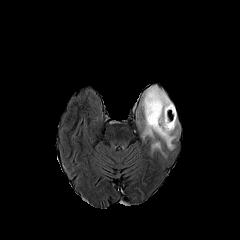
FLAIR magnetic resonance.
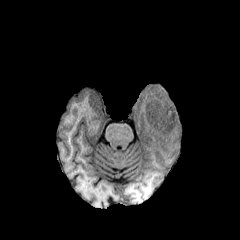
T1-weighted magnetic resonance.
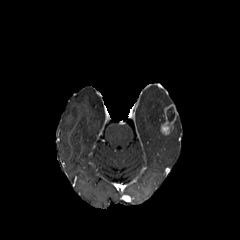
Post-contrast T1-weighted MR image of the same slice.
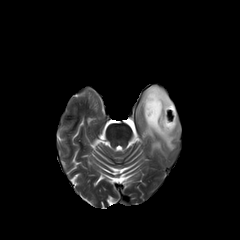
T2-weighted MRI of the same slice.
Brain. 240x240.
enhancing_tumor:
  - <bbox>160, 104, 177, 135</bbox>
necrotic_tumor_core:
  - <bbox>167, 107, 174, 121</bbox>
peritumoral_edema:
  - <bbox>140, 86, 179, 154</bbox>